FLAIR MRI.
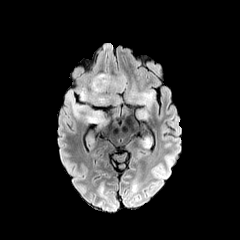
T1-weighted MR image.
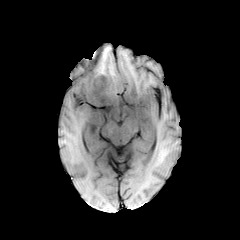
Post-contrast T1-weighted MR.
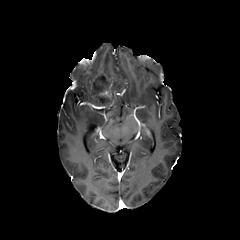
T2-weighted magnetic resonance.
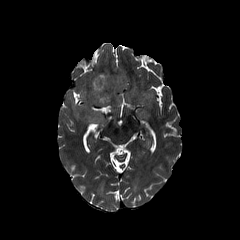
Brain; Axial view
• peritumoral edema: rect(77, 72, 156, 119); rect(67, 90, 105, 123)